Image width 240 mm, 1.00 mm slice spacing. Head.
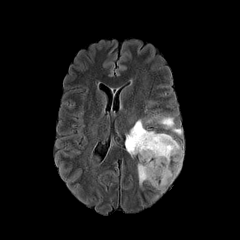
FLAIR MR image.
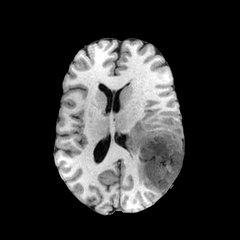
T1-weighted MR.
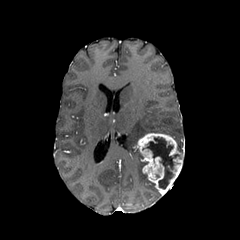
Post-contrast T1-weighted magnetic resonance.
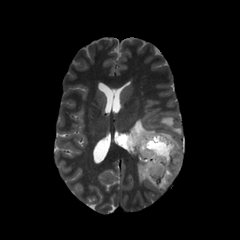
Same slice, T2-weighted MR.
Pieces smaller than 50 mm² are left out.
The 2 largest peritumoral edema regions appear at (126,119,155,185), (147,115,182,135). The largest enhancing tumor region is located at (135,133,183,193). The largest necrotic tumor core region lies within (146,137,179,188).